Head. Image covers 240 mm x 240 mm. Slice 74/155. Axial plane.
FLAIR MR image.
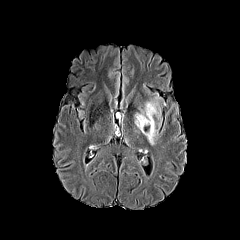
T1-weighted MR image.
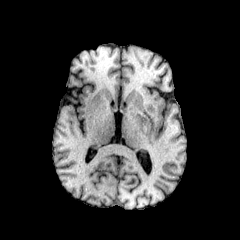
Post-contrast T1-weighted MRI.
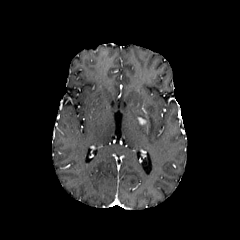
T2-weighted MR image.
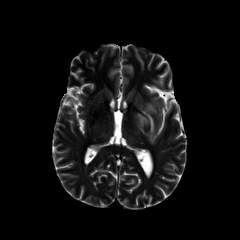
<segmentation>
  <enhancing_tumor>(138,117,147,124)</enhancing_tumor>
  <peritumoral_edema>(135,96,161,144)</peritumoral_edema>
</segmentation>